FLAIR MR.
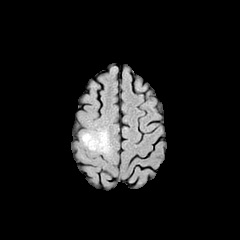
T1-weighted MRI.
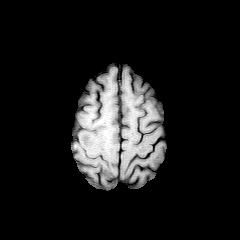
Post-contrast T1-weighted MR.
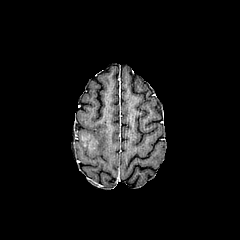
T2-weighted MR image.
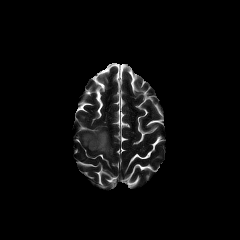
• enhancing tumor: x1=81, y1=131, x2=97, y2=149
• peritumoral edema: x1=77, y1=124, x2=114, y2=157